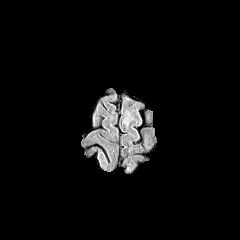
FLAIR MRI.
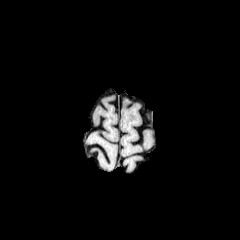
T1-weighted MRI of the same slice.
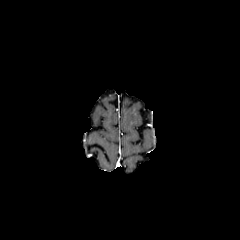
Same slice, post-contrast T1-weighted MR.
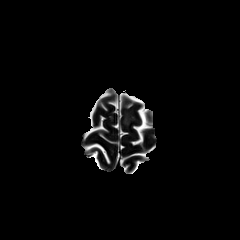
Same slice, T2-weighted MR image.
Image size 240x240, Head
peritumoral edema — box(123, 109, 133, 125)